FLAIR MR.
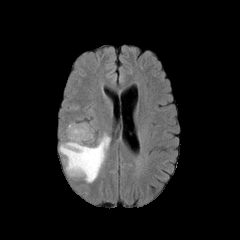
T1-weighted magnetic resonance.
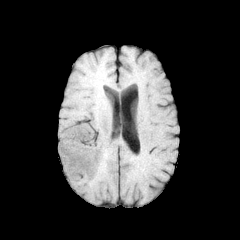
Post-contrast T1-weighted magnetic resonance.
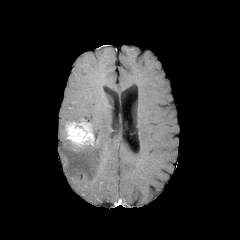
T2-weighted MRI.
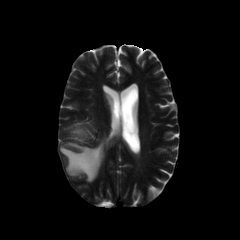
Brain
Segmented structures:
- peritumoral edema: box(59, 134, 110, 182)
- enhancing tumor: box(66, 122, 94, 146)